FLAIR MR image.
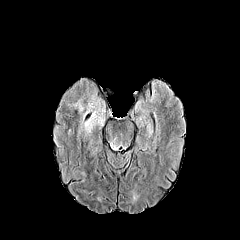
T1-weighted MR image.
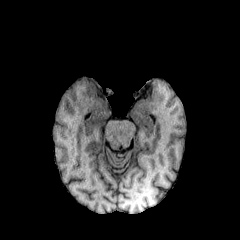
Post-contrast T1-weighted magnetic resonance.
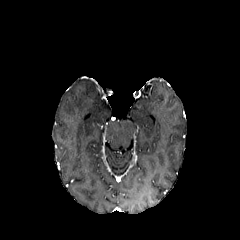
T2-weighted MRI.
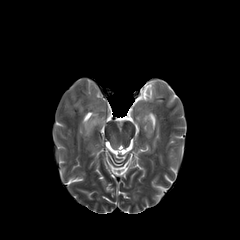
Axial slice
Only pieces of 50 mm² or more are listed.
{"peritumoral_edema": ["[x1=81, y1=100, x2=105, y2=135]"]}